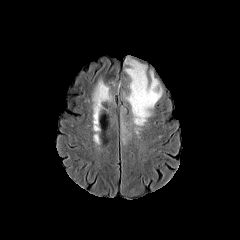
FLAIR MR image.
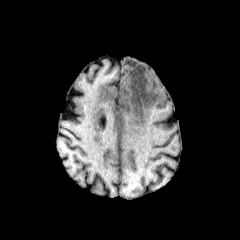
T1-weighted MR.
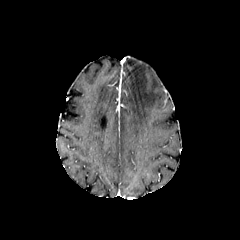
Post-contrast T1-weighted MR image.
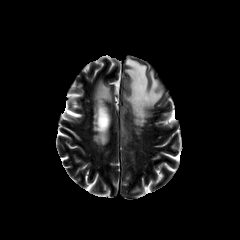
T2-weighted MR image of the same slice.
Head | Axial view
Findings:
- peritumoral edema: [91, 78, 110, 111], [125, 59, 162, 133], [120, 106, 130, 145]